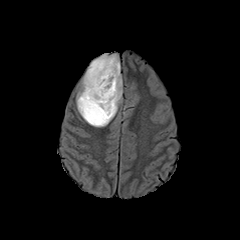
FLAIR MR.
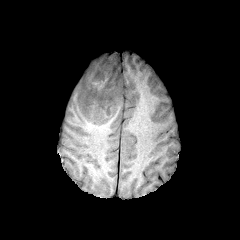
T1-weighted MR image.
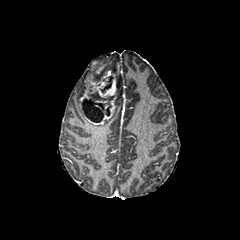
Post-contrast T1-weighted magnetic resonance.
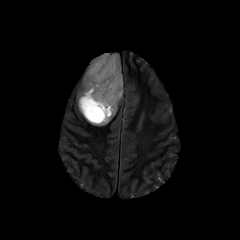
T2-weighted MR of the same slice.
Axial view | 240x240 px
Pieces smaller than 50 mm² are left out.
necrotic tumor core — box=[80, 98, 104, 122]
peritumoral edema — box=[76, 53, 122, 126]
enhancing tumor — box=[86, 97, 116, 124]; box=[80, 70, 116, 101]